Head; Slice 59 of 155; Axial slice
FLAIR MRI.
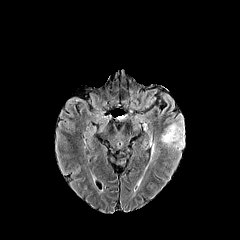
T1-weighted MR image.
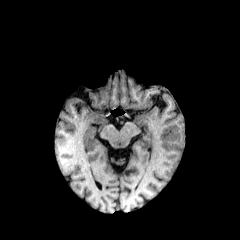
Post-contrast T1-weighted MR image.
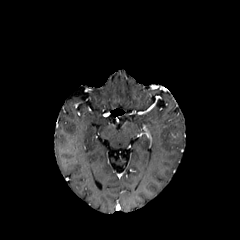
T2-weighted magnetic resonance.
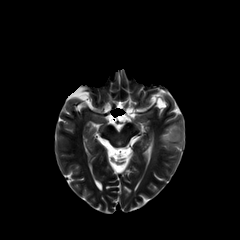
enhancing tumor: bbox=[169, 132, 178, 139] | peritumoral edema: bbox=[160, 117, 184, 150]